Axial view, Head, Image width 240 mm, 1.00 mm slice spacing, Image size 240x240
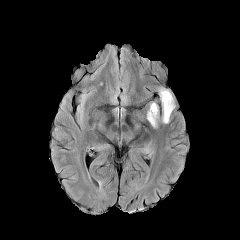
FLAIR MR.
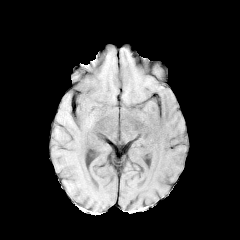
Same slice, T1-weighted MRI.
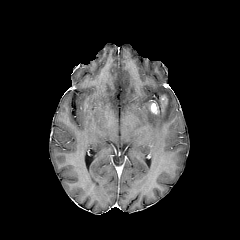
Post-contrast T1-weighted magnetic resonance.
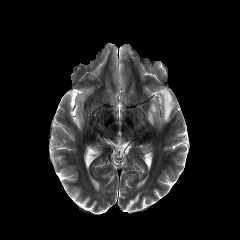
T2-weighted magnetic resonance.
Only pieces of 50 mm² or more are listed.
peritumoral edema: box(159, 88, 175, 123); box(147, 104, 159, 127) | enhancing tumor: box(151, 103, 158, 113)